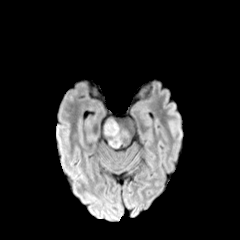
FLAIR MR image.
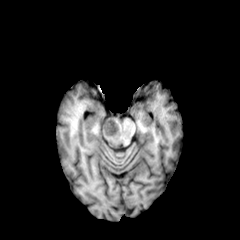
Same slice, T1-weighted MR.
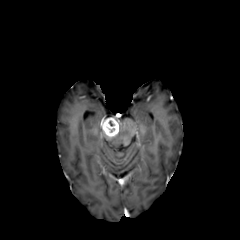
Same slice, post-contrast T1-weighted magnetic resonance.
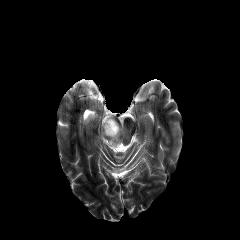
T2-weighted MRI of the same slice.
Head.
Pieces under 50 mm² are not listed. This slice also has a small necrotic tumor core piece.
enhancing_tumor:
  - x1=101, y1=117, x2=118, y2=137
peritumoral_edema:
  - x1=109, y1=126, x2=120, y2=147